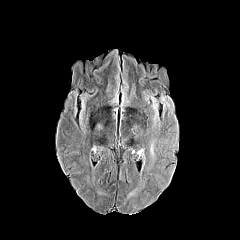
FLAIR MR.
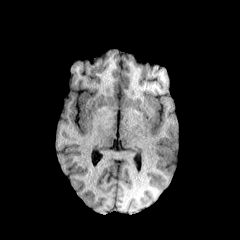
Same slice, T1-weighted MRI.
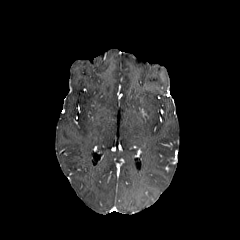
Post-contrast T1-weighted MR.
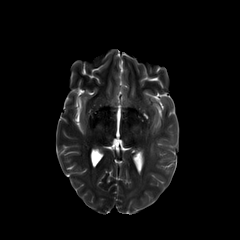
T2-weighted MRI of the same slice.
Brain | Image size 240x240
peritumoral edema: [151,139,156,155]